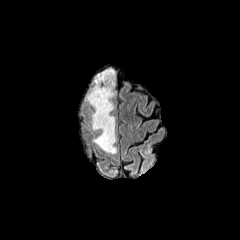
FLAIR MR image.
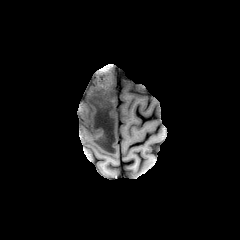
Same slice, T1-weighted MR image.
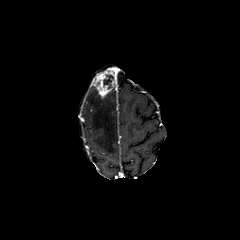
Post-contrast T1-weighted MR image.
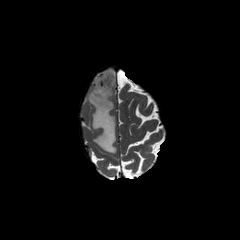
T2-weighted MRI.
Image size 240x240
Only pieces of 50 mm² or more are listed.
The enhancing tumor is located at x1=91, y1=67, x2=116, y2=98. The necrotic tumor core is at x1=103, y1=74, x2=113, y2=88. The largest peritumoral edema region is bounded by x1=86, y1=86, x2=116, y2=153.